Slice 124/155. Head.
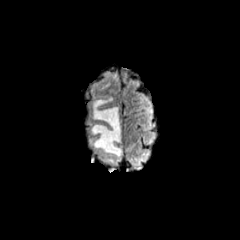
FLAIR MR image.
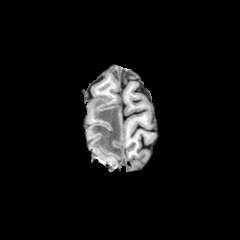
T1-weighted MR image.
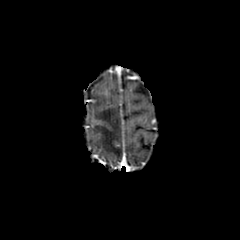
Post-contrast T1-weighted MR.
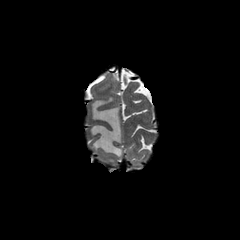
Same slice, T2-weighted MR.
The peritumoral edema appears at rect(90, 97, 122, 163).